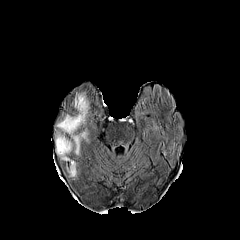
FLAIR MRI.
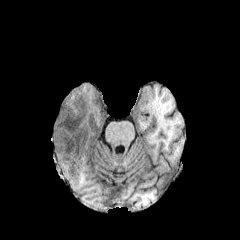
T1-weighted MRI of the same slice.
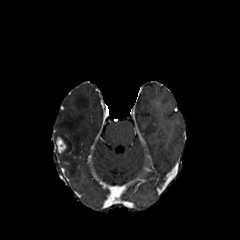
Same slice, post-contrast T1-weighted MR.
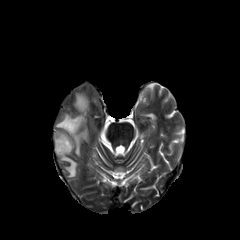
T2-weighted magnetic resonance.
240x240 | Brain
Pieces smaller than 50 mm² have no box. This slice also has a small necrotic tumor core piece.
peritumoral edema: l=57, t=93, r=88, b=154; l=56, t=131, r=75, b=176 | enhancing tumor: l=56, t=137, r=67, b=153